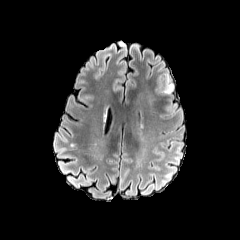
FLAIR MR.
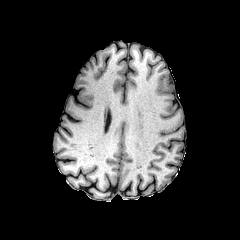
T1-weighted MR.
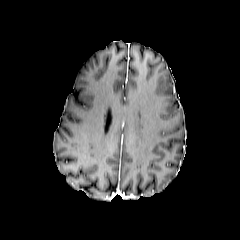
Post-contrast T1-weighted MRI of the same slice.
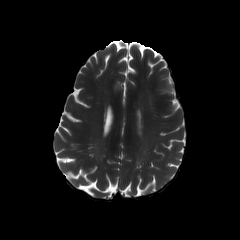
T2-weighted MR image.
peritumoral edema — [155,73,178,116]